Slice index 90, Axial view, Brain
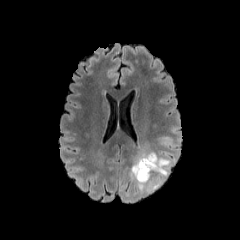
FLAIR MR.
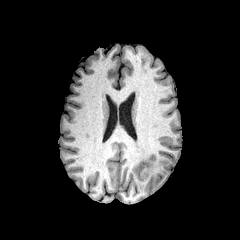
T1-weighted MRI.
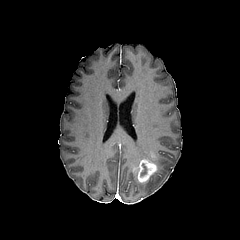
Post-contrast T1-weighted MR.
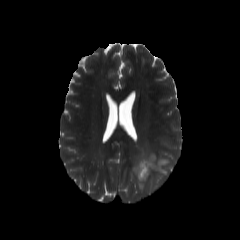
Same slice, T2-weighted magnetic resonance.
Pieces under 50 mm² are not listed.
The peritumoral edema is located at x1=129 y1=151 x2=176 y2=193. The largest enhancing tumor region appears at x1=136 y1=158 x2=158 y2=182. The necrotic tumor core lies within x1=140 y1=163 x2=147 y2=176.